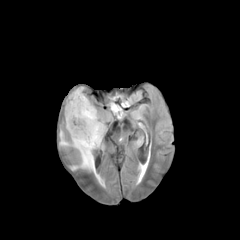
FLAIR MR image.
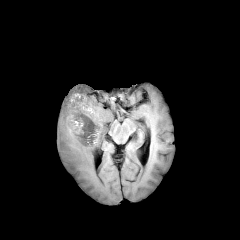
T1-weighted magnetic resonance.
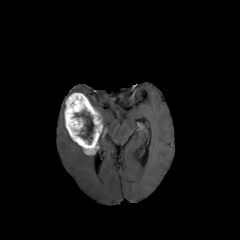
Post-contrast T1-weighted MRI.
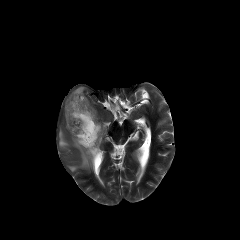
T2-weighted MR.
Axial slice.
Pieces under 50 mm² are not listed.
The 2 largest peritumoral edema regions are bounded by 59, 129, 94, 172; 98, 119, 105, 146. The necrotic tumor core lies within 75, 110, 94, 143. The enhancing tumor is bounded by 64, 92, 103, 155.